Slice 70 of 155. Image size 240x240.
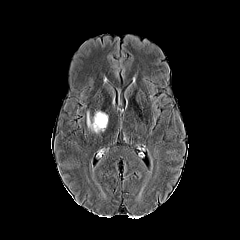
FLAIR magnetic resonance.
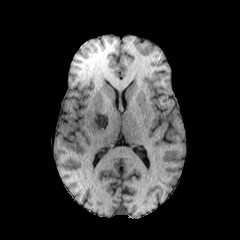
Same slice, T1-weighted magnetic resonance.
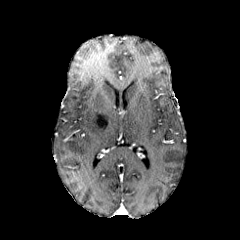
Post-contrast T1-weighted MR image of the same slice.
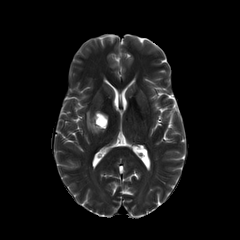
Same slice, T2-weighted MR.
peritumoral edema — 87:111:107:133